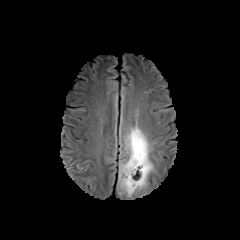
FLAIR MR.
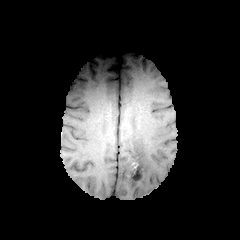
T1-weighted magnetic resonance.
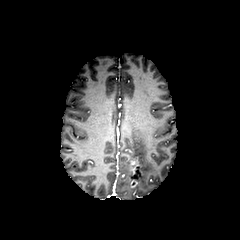
Post-contrast T1-weighted MRI of the same slice.
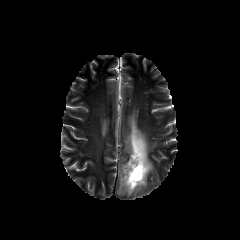
Same slice, T2-weighted MR.
Brain
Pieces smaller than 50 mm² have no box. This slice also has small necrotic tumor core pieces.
Annotated regions:
• peritumoral edema: (left=119, top=127, right=153, bottom=196)
• enhancing tumor: (left=129, top=161, right=143, bottom=187)